Slice 93 of 155. Brain. Axial slice.
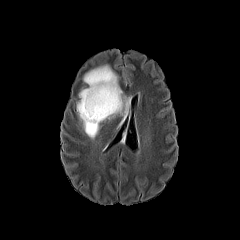
FLAIR MR image.
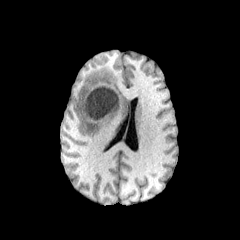
T1-weighted MR.
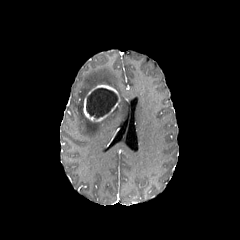
Same slice, post-contrast T1-weighted magnetic resonance.
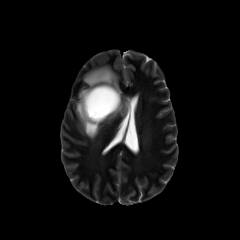
T2-weighted MRI of the same slice.
The enhancing tumor is at 83,85,120,121. The peritumoral edema appears at 74,61,131,140. The necrotic tumor core appears at 86,88,118,118.